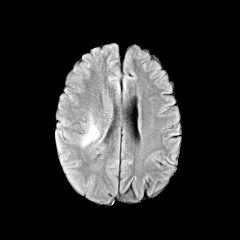
FLAIR magnetic resonance.
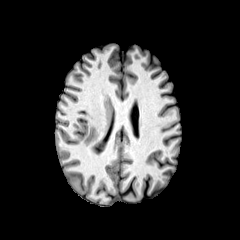
Same slice, T1-weighted magnetic resonance.
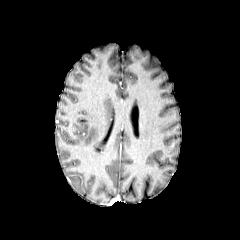
Same slice, post-contrast T1-weighted MR image.
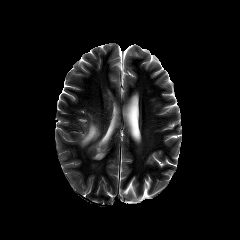
Same slice, T2-weighted MR image.
peritumoral edema = 81, 121, 99, 146